Axial view. Head.
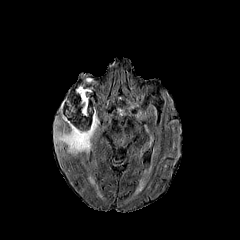
FLAIR MR image.
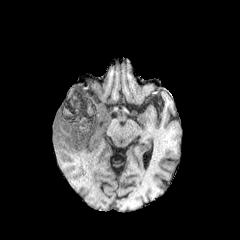
T1-weighted MR.
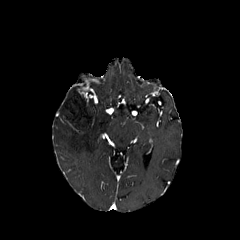
Post-contrast T1-weighted MRI.
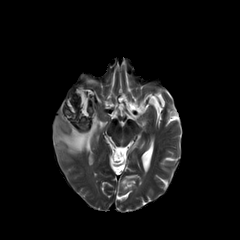
Same slice, T2-weighted MRI.
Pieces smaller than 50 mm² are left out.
enhancing tumor: bounding box l=63, t=116, r=79, b=132; l=76, t=87, r=88, b=106
peritumoral edema: bounding box l=54, t=116, r=99, b=154
necrotic tumor core: bounding box l=61, t=86, r=95, b=130